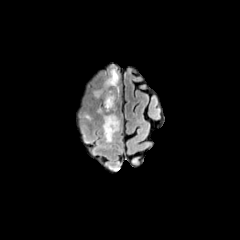
FLAIR magnetic resonance.
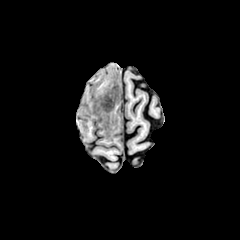
Same slice, T1-weighted MR image.
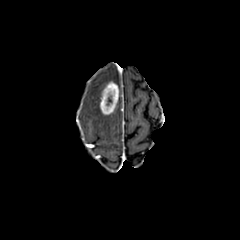
Post-contrast T1-weighted magnetic resonance of the same slice.
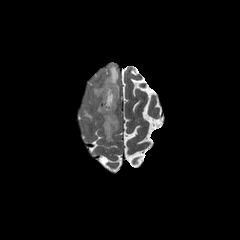
T2-weighted MR of the same slice.
Brain
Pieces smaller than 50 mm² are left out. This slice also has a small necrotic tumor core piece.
peritumoral edema — l=104, t=66, r=119, b=87; l=103, t=112, r=119, b=142
enhancing tumor — l=100, t=81, r=119, b=114